Brain, Axial view
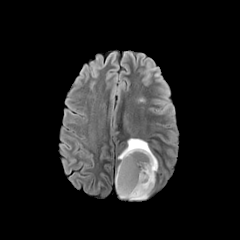
FLAIR MR.
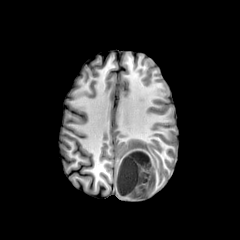
T1-weighted MR image.
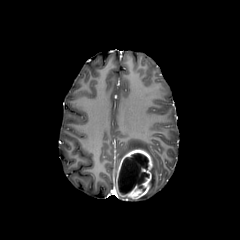
Post-contrast T1-weighted magnetic resonance.
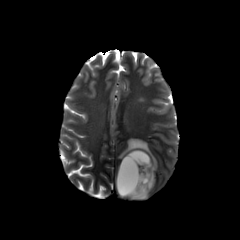
T2-weighted MR image.
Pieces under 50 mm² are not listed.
The largest necrotic tumor core region appears at rect(118, 153, 149, 194). The enhancing tumor is located at rect(116, 149, 152, 199). The largest peritumoral edema region appears at rect(118, 138, 158, 199).